FLAIR MR image.
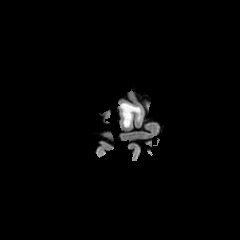
T1-weighted MR image.
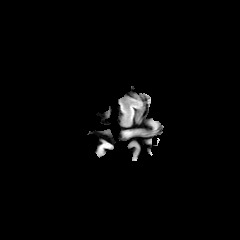
Post-contrast T1-weighted magnetic resonance.
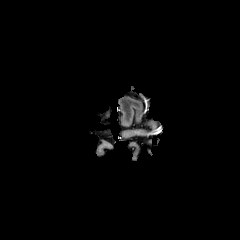
T2-weighted MR image.
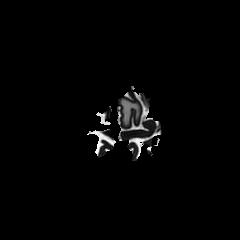
Brain. 240x240 px. Axial slice.
The peritumoral edema is at 120,100,141,127.